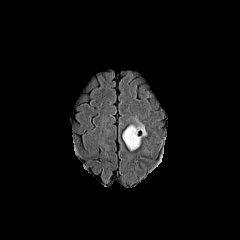
FLAIR MR image.
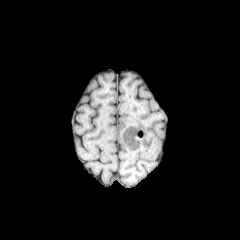
Same slice, T1-weighted MR.
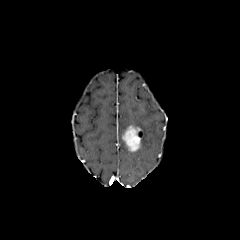
Post-contrast T1-weighted MRI.
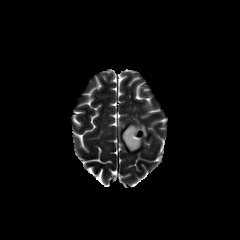
Same slice, T2-weighted MR.
Head
peritumoral edema = 133 125 146 136
enhancing tumor = 122 125 141 151